Head.
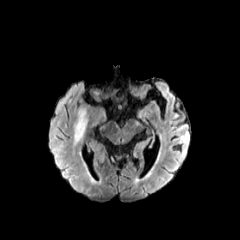
FLAIR MR image.
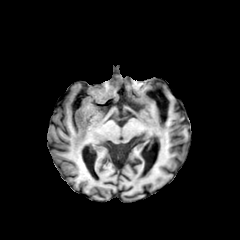
T1-weighted MRI.
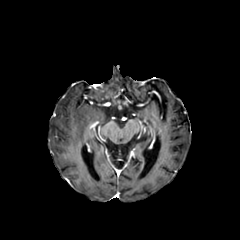
Post-contrast T1-weighted MR image.
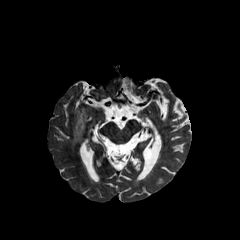
T2-weighted magnetic resonance.
peritumoral_edema:
  - 74, 109, 87, 144